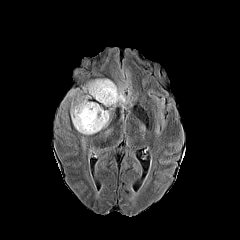
FLAIR MR.
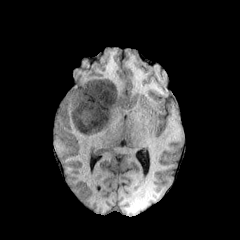
T1-weighted MR image.
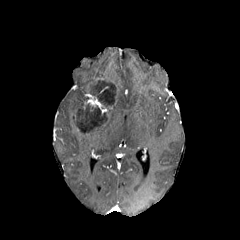
Post-contrast T1-weighted MRI of the same slice.
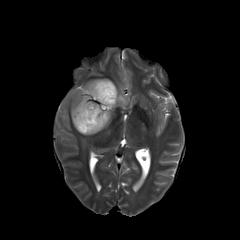
Same slice, T2-weighted MR.
Head.
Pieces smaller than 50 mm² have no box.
- enhancing tumor: (left=84, top=92, right=102, bottom=108), (left=101, top=106, right=112, bottom=117)
- peritumoral edema: (left=92, top=111, right=111, bottom=134), (left=112, top=85, right=129, bottom=109), (left=62, top=90, right=76, bottom=103), (left=81, top=81, right=96, bottom=93), (left=70, top=96, right=86, bottom=134)
- necrotic tumor core: (left=91, top=80, right=119, bottom=108), (left=75, top=103, right=107, bottom=134)